Slice 93 of 155. Head. Axial slice.
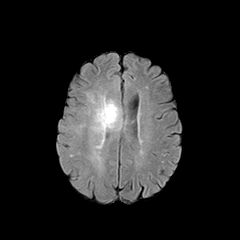
FLAIR magnetic resonance.
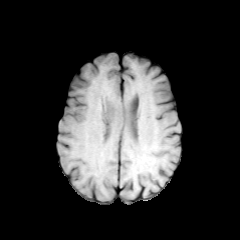
Same slice, T1-weighted MR.
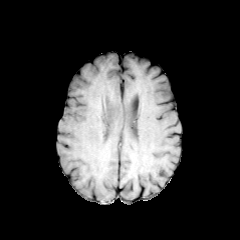
Same slice, post-contrast T1-weighted magnetic resonance.
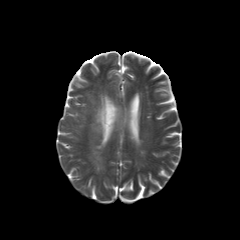
T2-weighted MRI.
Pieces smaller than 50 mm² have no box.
peritumoral edema = [x1=92, y1=95, x2=122, y2=148]